FLAIR magnetic resonance.
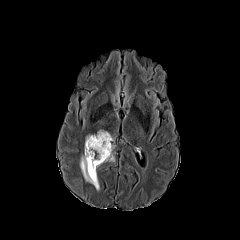
T1-weighted MR image.
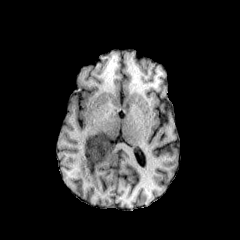
Post-contrast T1-weighted MR image.
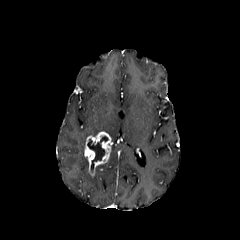
T2-weighted MR.
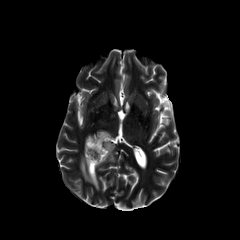
Head. 240x240.
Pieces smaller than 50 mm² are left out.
enhancing tumor: rect(84, 131, 112, 177)
peritumoral edema: rect(80, 155, 99, 190)
necrotic tumor core: rect(87, 136, 108, 171)